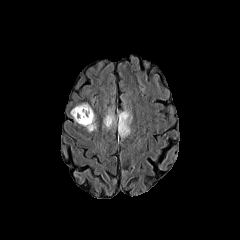
FLAIR magnetic resonance.
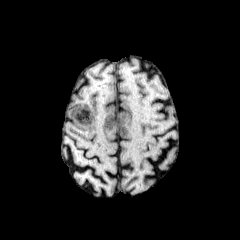
T1-weighted MR image.
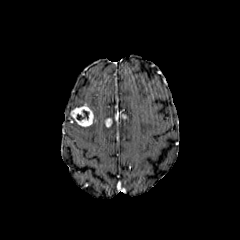
Post-contrast T1-weighted MR image of the same slice.
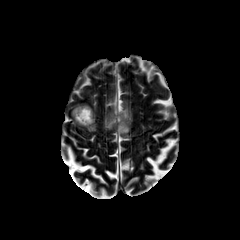
T2-weighted MR.
240x240
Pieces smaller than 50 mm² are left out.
necrotic tumor core = (left=76, top=110, right=89, bottom=120)
enhancing tumor = (left=114, top=112, right=127, bottom=125), (left=70, top=104, right=93, bottom=127), (left=105, top=118, right=112, bottom=127)
peritumoral edema = (left=105, top=108, right=116, bottom=128), (left=86, top=115, right=96, bottom=132), (left=118, top=110, right=132, bottom=138)